Brain. Axial plane. Slice 63/155.
FLAIR MRI.
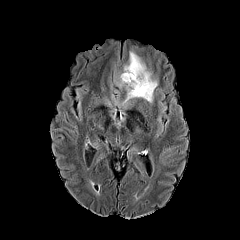
T1-weighted MRI.
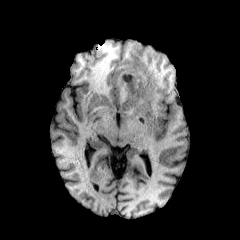
Post-contrast T1-weighted magnetic resonance.
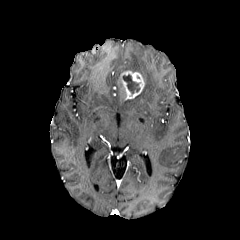
T2-weighted MR.
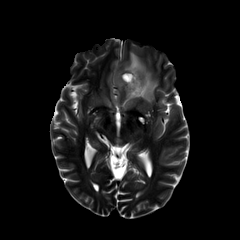
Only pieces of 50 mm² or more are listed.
{
  "necrotic_tumor_core": [
    "box=[123, 75, 139, 93]"
  ],
  "enhancing_tumor": [
    "box=[120, 70, 144, 99]"
  ],
  "peritumoral_edema": [
    "box=[124, 51, 157, 102]"
  ]
}